Brain | 240x240 px
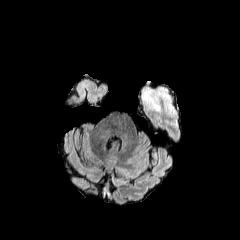
FLAIR MR.
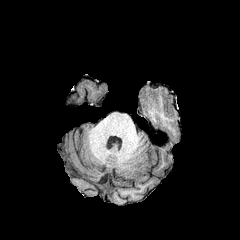
Same slice, T1-weighted MRI.
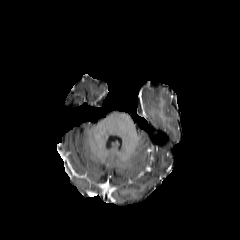
Same slice, post-contrast T1-weighted MRI.
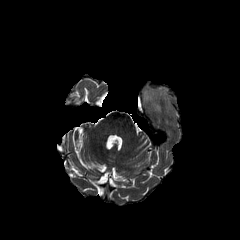
T2-weighted MR of the same slice.
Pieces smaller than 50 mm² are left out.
{"peritumoral_edema": ["box=[144, 92, 152, 100]"]}